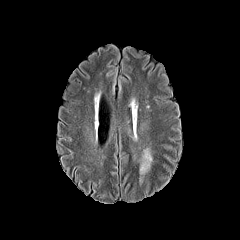
FLAIR MR.
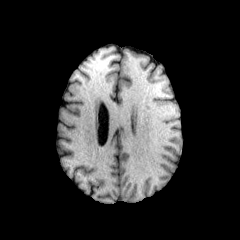
Same slice, T1-weighted magnetic resonance.
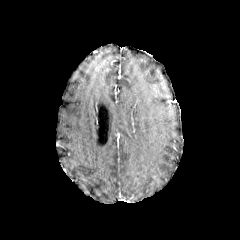
Post-contrast T1-weighted MRI.
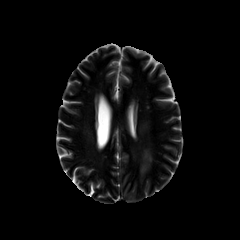
T2-weighted MRI of the same slice.
Head
Segmented structures:
• peritumoral edema: 140:149:151:184